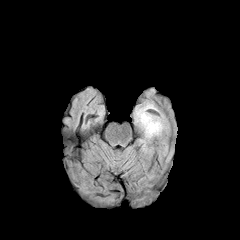
FLAIR MR image.
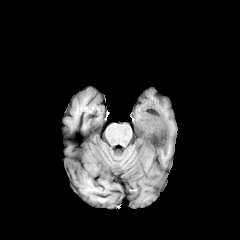
T1-weighted MR image.
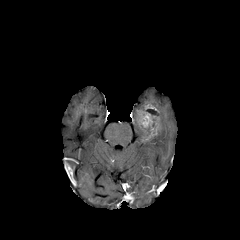
Same slice, post-contrast T1-weighted MR image.
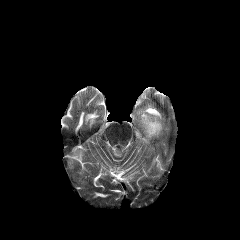
T2-weighted MR of the same slice.
Head; Axial plane
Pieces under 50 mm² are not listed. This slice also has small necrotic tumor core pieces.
peritumoral edema — (152, 111, 168, 138), (134, 102, 154, 127)
enhancing tumor — (137, 110, 160, 141)